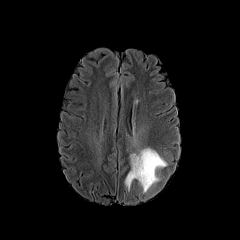
FLAIR MR image.
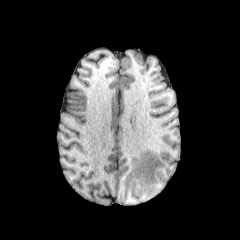
T1-weighted MRI of the same slice.
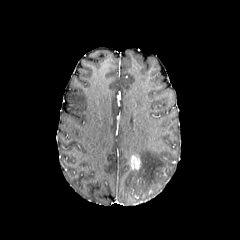
Post-contrast T1-weighted MR.
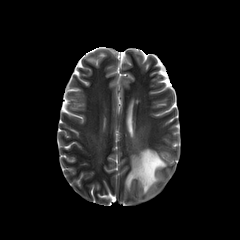
T2-weighted MRI.
Axial slice | Brain
peritumoral edema = {"x1": 125, "y1": 148, "x2": 167, "y2": 193}
enhancing tumor = {"x1": 130, "y1": 155, "x2": 141, "y2": 170}